Axial slice
FLAIR magnetic resonance.
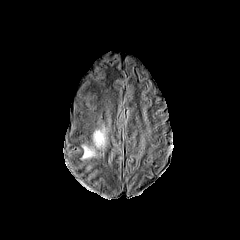
T1-weighted MR.
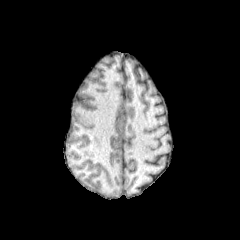
Post-contrast T1-weighted MR.
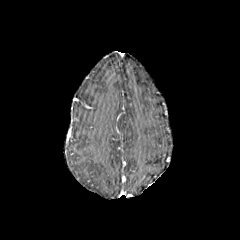
T2-weighted MR.
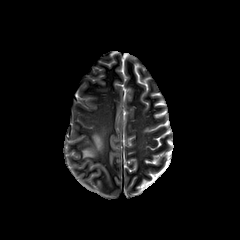
Segmented structures:
• peritumoral edema: (left=83, top=147, right=95, bottom=158), (left=93, top=129, right=104, bottom=148)